FLAIR MR.
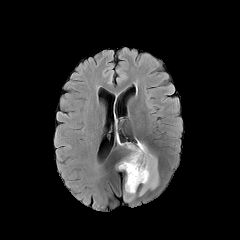
T1-weighted MRI.
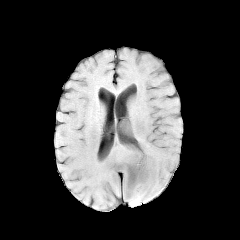
Post-contrast T1-weighted MR image.
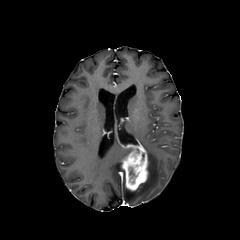
T2-weighted magnetic resonance.
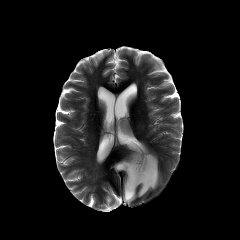
Head, Axial plane, Image size 240x240
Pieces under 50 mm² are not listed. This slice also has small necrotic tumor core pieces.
• peritumoral edema: x1=123, y1=143, x2=159, y2=202
• enhancing tumor: x1=118, y1=138, x2=148, y2=190